Axial view
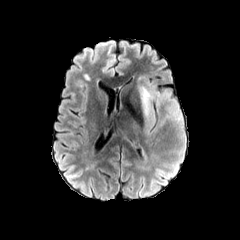
FLAIR magnetic resonance.
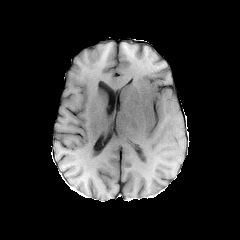
T1-weighted magnetic resonance.
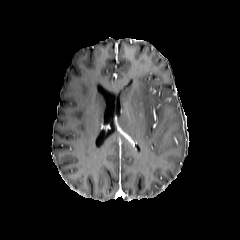
Post-contrast T1-weighted MR image.
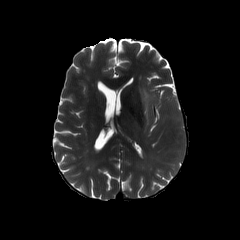
T2-weighted MR of the same slice.
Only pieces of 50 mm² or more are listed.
Findings:
* peritumoral edema: (138,77,163,133)